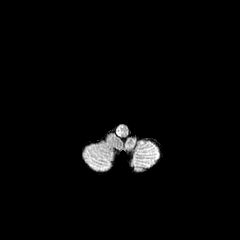
FLAIR MR.
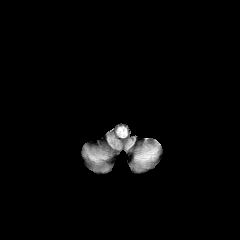
Same slice, T1-weighted magnetic resonance.
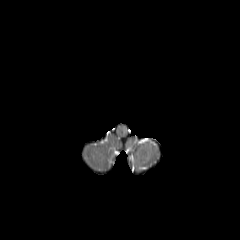
Same slice, post-contrast T1-weighted magnetic resonance.
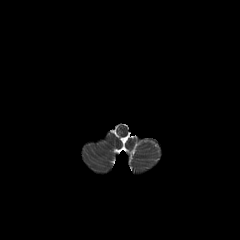
Same slice, T2-weighted MR.
Axial view | Head
peritumoral_edema:
  - <box>116,124,123,135</box>